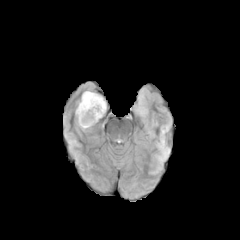
FLAIR MRI.
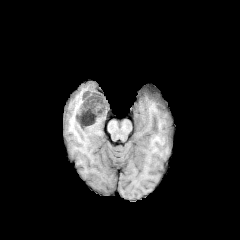
Same slice, T1-weighted magnetic resonance.
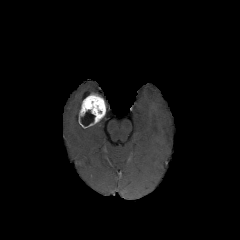
Post-contrast T1-weighted MRI of the same slice.
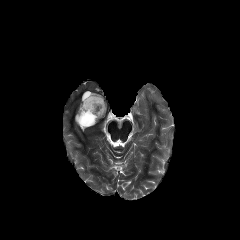
T2-weighted MRI of the same slice.
Axial view, Image size 240x240, Brain
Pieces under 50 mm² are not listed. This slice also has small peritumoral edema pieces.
The enhancing tumor lies within 77:93:105:128. The necrotic tumor core is located at 81:110:95:125.